Slice index 68
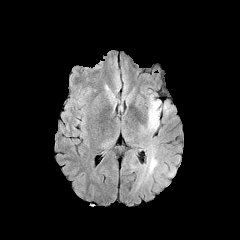
FLAIR magnetic resonance.
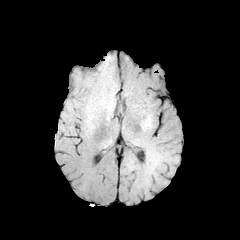
T1-weighted MR.
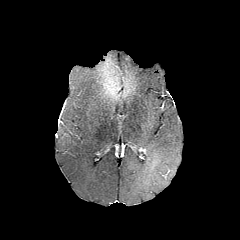
Post-contrast T1-weighted magnetic resonance.
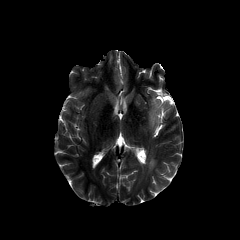
T2-weighted MR of the same slice.
2 peritumoral edema regions appear at [x1=100, y1=137, x2=116, y2=147], [x1=124, y1=90, x2=182, y2=188].